240x240 px | Slice index 86
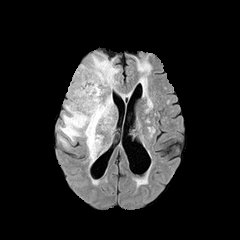
FLAIR MR.
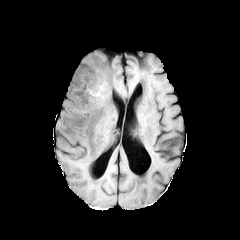
T1-weighted MR.
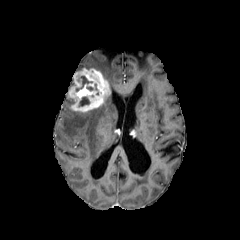
Post-contrast T1-weighted MR image of the same slice.
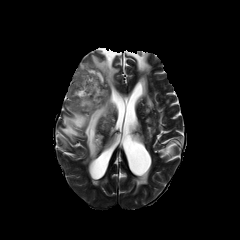
Same slice, T2-weighted MR.
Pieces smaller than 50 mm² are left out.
The enhancing tumor appears at [67, 68, 110, 112]. The 3 largest peritumoral edema regions are bounded by [59, 136, 68, 147], [78, 55, 119, 90], [59, 93, 113, 163]. The 2 largest necrotic tumor core regions are located at [81, 76, 91, 87], [79, 97, 89, 106].